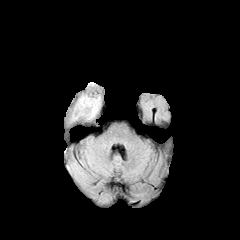
FLAIR MRI.
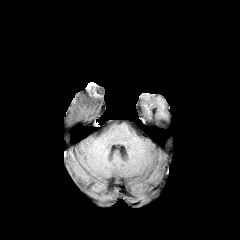
T1-weighted magnetic resonance of the same slice.
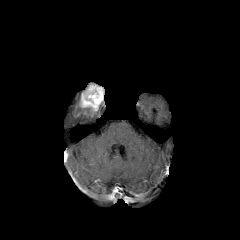
Post-contrast T1-weighted MR image.
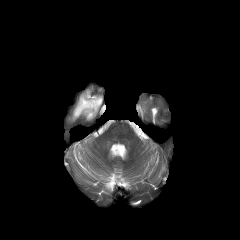
T2-weighted magnetic resonance.
Brain
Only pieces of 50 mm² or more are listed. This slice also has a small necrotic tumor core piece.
Annotated regions:
* peritumoral edema: <bbox>71, 107, 95, 121</bbox>
* enhancing tumor: <bbox>74, 84, 104, 117</bbox>